Slice index 62. 240x240 px. Brain.
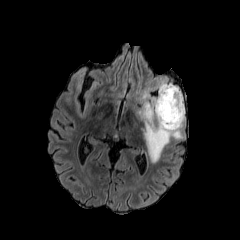
FLAIR MR.
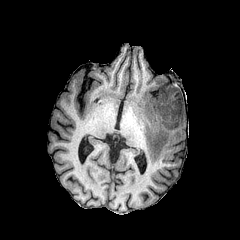
T1-weighted magnetic resonance.
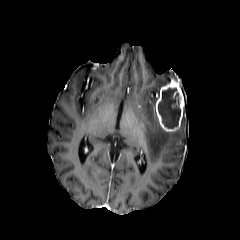
Same slice, post-contrast T1-weighted magnetic resonance.
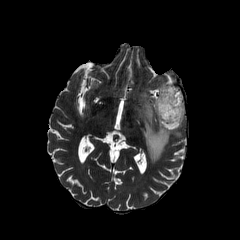
T2-weighted MR image of the same slice.
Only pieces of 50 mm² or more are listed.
peritumoral_edema:
  - (x1=138, y1=91, x2=185, y2=162)
necrotic_tumor_core:
  - (x1=158, y1=88, x2=180, y2=128)
enhancing_tumor:
  - (x1=155, y1=81, x2=184, y2=131)